FLAIR MR image.
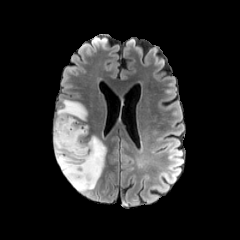
T1-weighted magnetic resonance.
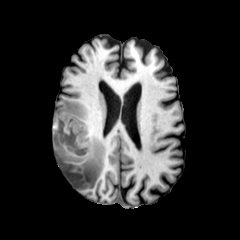
Post-contrast T1-weighted MR image.
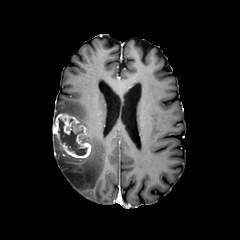
T2-weighted MR.
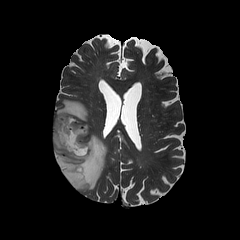
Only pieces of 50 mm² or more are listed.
necrotic tumor core — region(57, 118, 87, 155)
peritumoral edema — region(53, 99, 106, 192)
enhancing tumor — region(53, 112, 91, 159)